FLAIR MR image.
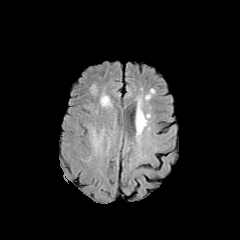
T1-weighted MRI.
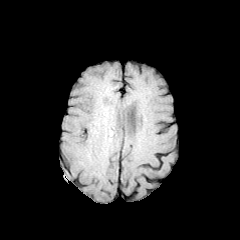
Post-contrast T1-weighted MR.
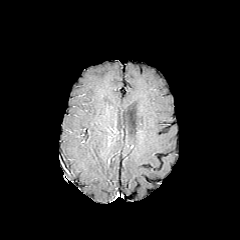
T2-weighted magnetic resonance.
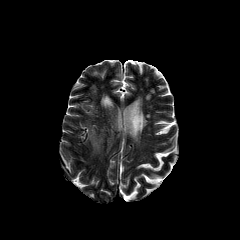
Head | Image size 240x240
{
  "peritumoral_edema": [
    "box=[91, 129, 102, 151]"
  ]
}